FLAIR magnetic resonance.
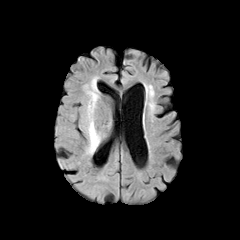
T1-weighted MRI.
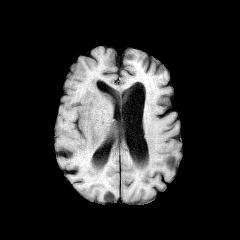
Post-contrast T1-weighted MRI.
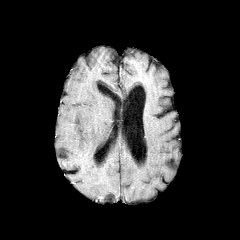
T2-weighted MR.
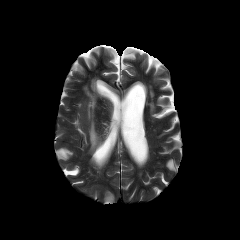
Image size 240x240, Axial view, Head
The peritumoral edema appears at bbox=[85, 85, 101, 153].